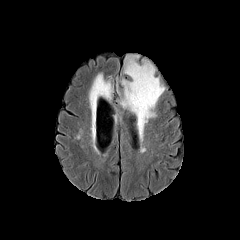
FLAIR magnetic resonance.
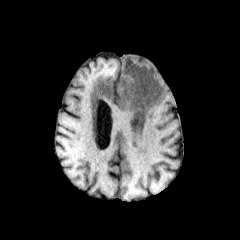
Same slice, T1-weighted MRI.
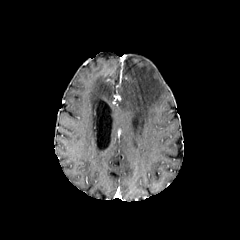
Post-contrast T1-weighted MR image.
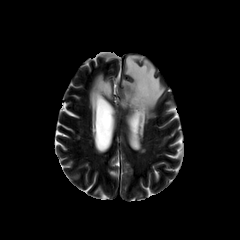
T2-weighted MR image.
peritumoral edema: bounding box {"x1": 120, "y1": 56, "x2": 164, "y2": 141}, {"x1": 89, "y1": 72, "x2": 112, "y2": 107}